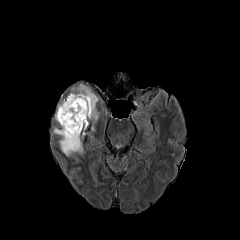
FLAIR MR.
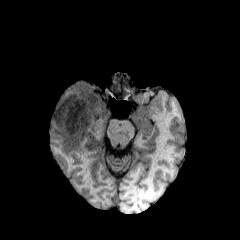
Same slice, T1-weighted magnetic resonance.
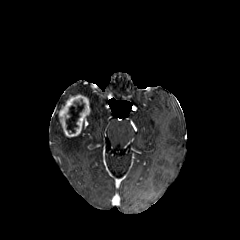
Post-contrast T1-weighted MRI.
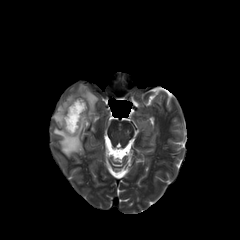
Same slice, T2-weighted MRI.
Image size 240x240, Brain
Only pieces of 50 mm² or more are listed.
enhancing tumor: bounding box [58,94,90,137]
necrotic tumor core: bounding box [66,99,84,132]
peritumoral edema: bounding box [69,84,98,120], [53,127,85,156], [58,95,68,110]